Image width 240 mm. Head.
FLAIR MRI.
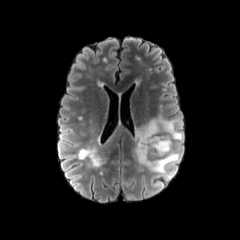
T1-weighted MR.
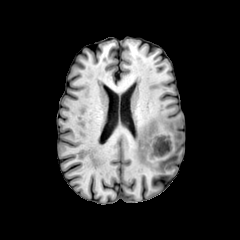
Post-contrast T1-weighted MR.
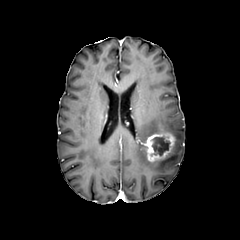
T2-weighted MR.
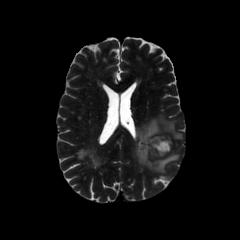
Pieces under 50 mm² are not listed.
<segmentation>
  <peritumoral_edema>134 115 183 173</peritumoral_edema>
  <necrotic_tumor_core>152 137 169 155</necrotic_tumor_core>
  <enhancing_tumor>144 133 175 160</enhancing_tumor>
</segmentation>